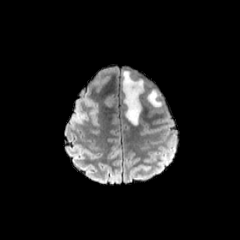
FLAIR MR.
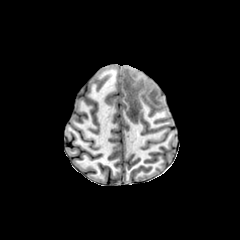
T1-weighted MRI.
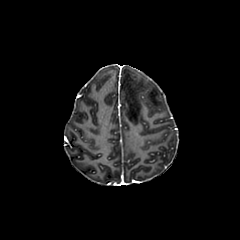
Post-contrast T1-weighted MRI.
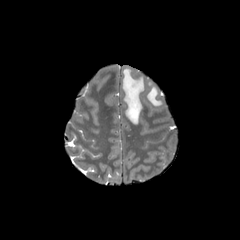
T2-weighted MRI.
Findings:
- peritumoral edema: <bbox>123, 70, 144, 124</bbox>, <bbox>147, 88, 161, 106</bbox>